Image covers 240 mm x 240 mm
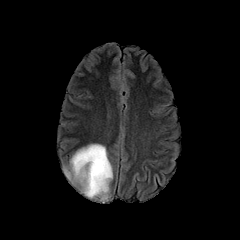
FLAIR MR image.
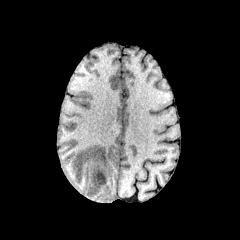
T1-weighted MR image.
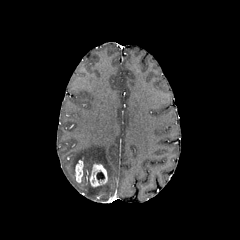
Post-contrast T1-weighted MR image.
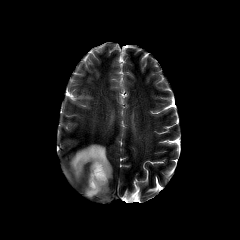
Same slice, T2-weighted magnetic resonance.
Annotated regions:
* enhancing tumor: (left=75, top=160, right=83, bottom=182), (left=87, top=163, right=107, bottom=187)
* necrotic tumor core: (left=96, top=172, right=104, bottom=180)
* peritumoral edema: (left=64, top=144, right=112, bottom=200)